FLAIR MR.
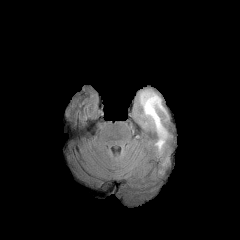
T1-weighted MRI.
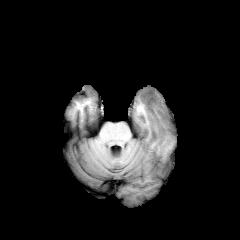
Post-contrast T1-weighted magnetic resonance.
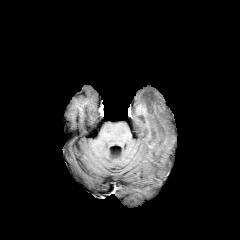
T2-weighted MR image.
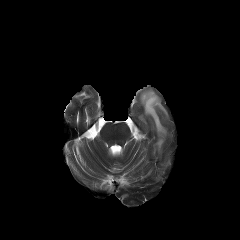
Axial slice, Brain
peritumoral edema: (x1=139, y1=89, x2=167, y2=151)